FLAIR MR image.
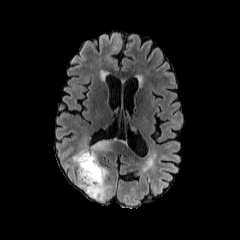
T1-weighted magnetic resonance.
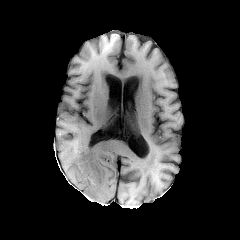
Post-contrast T1-weighted MR.
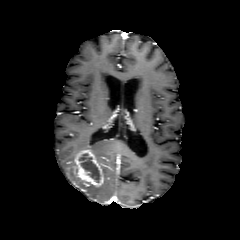
T2-weighted magnetic resonance.
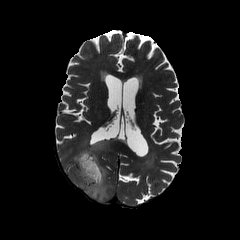
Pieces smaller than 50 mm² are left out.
peritumoral_edema:
  - (68, 154, 111, 201)
  - (78, 140, 110, 161)
necrotic_tumor_core:
  - (79, 153, 99, 182)
enhancing_tumor:
  - (74, 150, 103, 186)